FLAIR MR image.
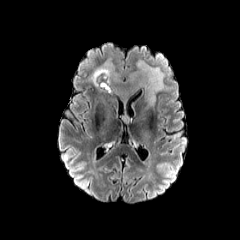
T1-weighted magnetic resonance.
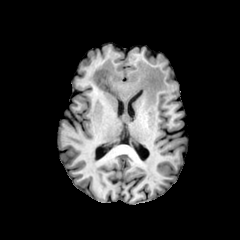
Post-contrast T1-weighted MR image.
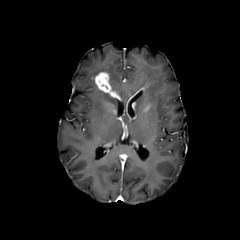
T2-weighted magnetic resonance.
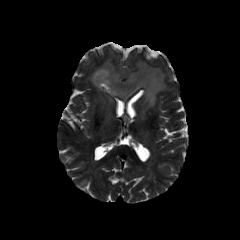
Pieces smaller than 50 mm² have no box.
{"peritumoral_edema": ["box=[90, 60, 166, 105]"], "enhancing_tumor": ["box=[93, 72, 118, 97]"]}